Slice 114/155.
FLAIR MR.
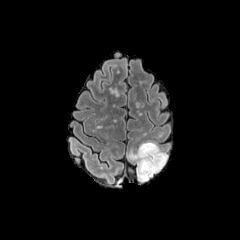
T1-weighted magnetic resonance.
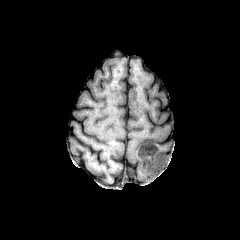
Post-contrast T1-weighted MR.
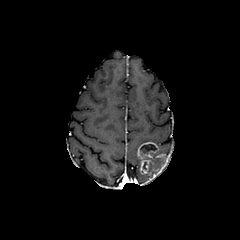
T2-weighted MR image.
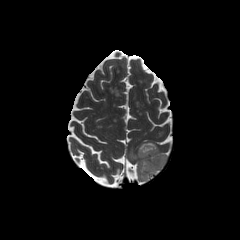
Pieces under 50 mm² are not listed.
The largest necrotic tumor core region appears at bbox=[140, 144, 156, 153]. The largest enhancing tumor region is at bbox=[137, 142, 158, 173]. The largest peritumoral edema region is located at bbox=[128, 149, 166, 181].